Axial plane; 240x240 px; Brain
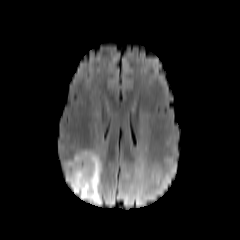
FLAIR magnetic resonance.
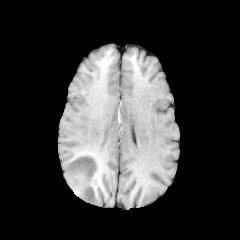
T1-weighted MR image.
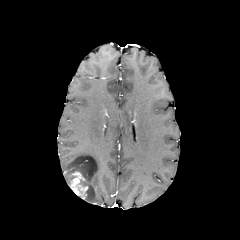
Post-contrast T1-weighted magnetic resonance.
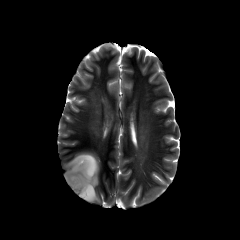
T2-weighted MR image.
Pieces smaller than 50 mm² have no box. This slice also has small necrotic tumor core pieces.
The peritumoral edema is located at x1=65 y1=151 x2=101 y2=203. The enhancing tumor is located at x1=69 y1=171 x2=88 y2=199.